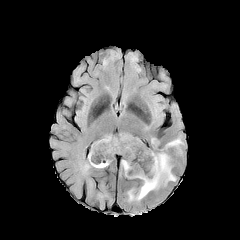
FLAIR MR.
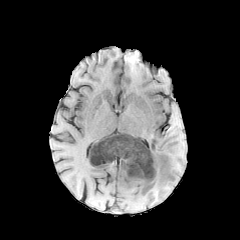
T1-weighted MRI.
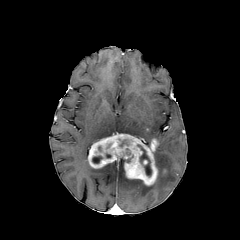
Post-contrast T1-weighted magnetic resonance.
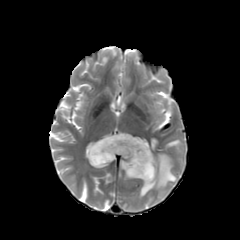
Same slice, T2-weighted magnetic resonance.
Brain.
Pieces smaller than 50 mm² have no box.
<segmentation>
  <necrotic_tumor_core>x1=92, y1=156, x2=102, y2=163; x1=140, y1=147, x2=151, y2=176</necrotic_tumor_core>
  <peritumoral_edema>x1=166, y1=139, x2=181, y2=147; x1=119, y1=159, x2=124, y2=176; x1=135, y1=153, x2=176, y2=200</peritumoral_edema>
  <enhancing_tumor>x1=88, y1=133, x2=157, y2=185</enhancing_tumor>
</segmentation>